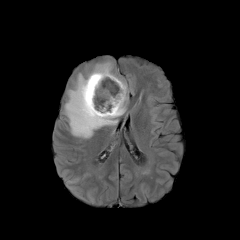
FLAIR magnetic resonance.
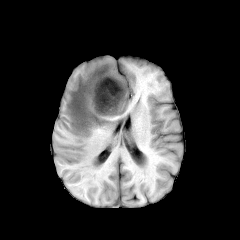
T1-weighted MR image of the same slice.
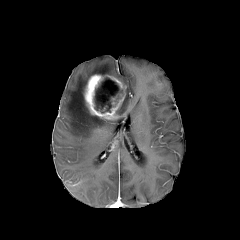
Post-contrast T1-weighted MRI.
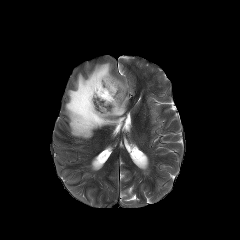
T2-weighted magnetic resonance.
Brain, 240x240, Axial plane
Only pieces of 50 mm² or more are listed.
{"peritumoral_edema": ["64:58:128:138"], "enhancing_tumor": ["84:74:126:119"], "necrotic_tumor_core": ["94:77:119:112"]}